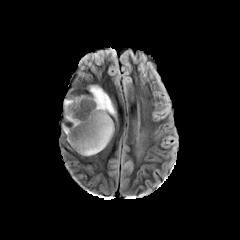
FLAIR MR image.
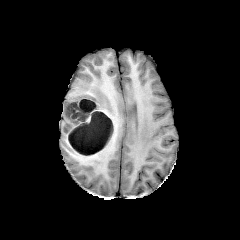
T1-weighted magnetic resonance.
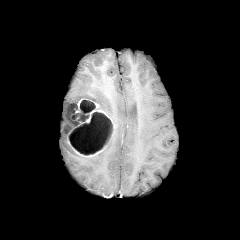
Post-contrast T1-weighted MR.
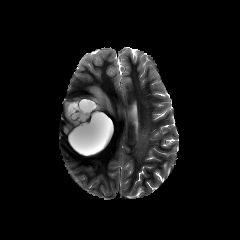
Same slice, T2-weighted MRI.
Head | Image size 240x240
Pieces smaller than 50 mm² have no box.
enhancing_tumor:
  - [62, 92, 109, 145]
  - [105, 120, 114, 147]
peritumoral_edema:
  - [89, 85, 115, 115]
necrotic_tumor_core:
  - [79, 114, 89, 122]
  - [64, 122, 72, 132]
  - [65, 95, 97, 119]
  - [69, 112, 112, 155]
  - [80, 100, 95, 112]